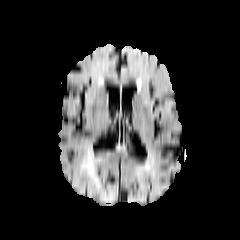
FLAIR MR image.
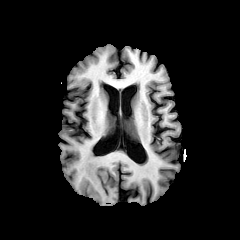
T1-weighted MRI.
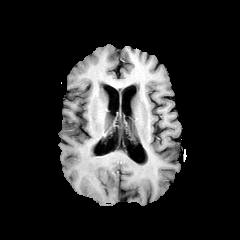
Same slice, post-contrast T1-weighted magnetic resonance.
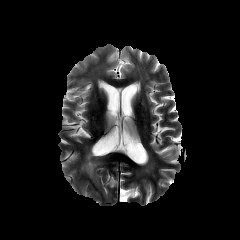
T2-weighted MRI.
Brain
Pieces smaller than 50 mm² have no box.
peritumoral edema — region(81, 151, 99, 187)